FLAIR MRI.
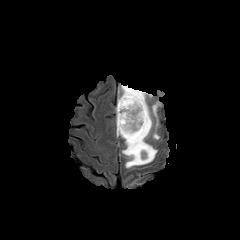
T1-weighted magnetic resonance.
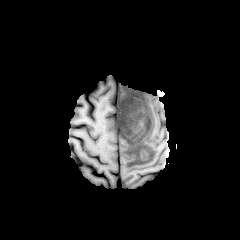
Post-contrast T1-weighted magnetic resonance.
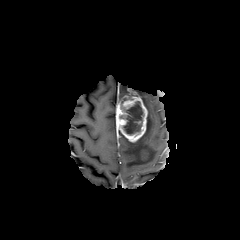
T2-weighted MR.
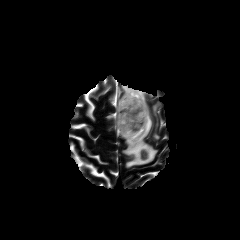
Brain
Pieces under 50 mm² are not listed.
The 2 largest enhancing tumor regions are located at 116, 88, 147, 142; 140, 149, 148, 161. The largest necrotic tumor core region lies within 123, 101, 142, 134. 2 peritumoral edema regions are located at 118, 85, 127, 100; 119, 89, 160, 168.